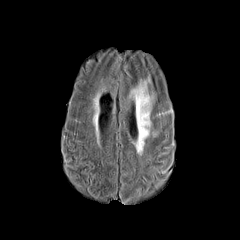
FLAIR MRI.
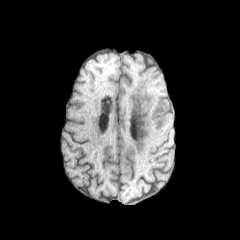
T1-weighted magnetic resonance.
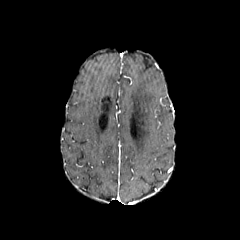
Post-contrast T1-weighted MR of the same slice.
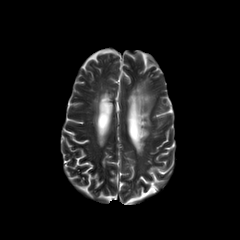
T2-weighted MR.
Axial view
The peritumoral edema lies within 129:79:153:153.